FLAIR magnetic resonance.
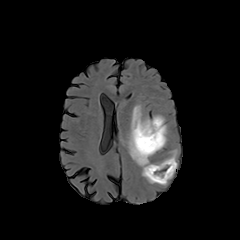
T1-weighted MR image.
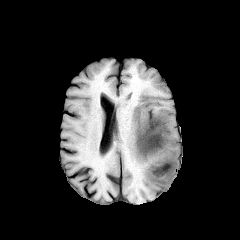
Post-contrast T1-weighted MRI.
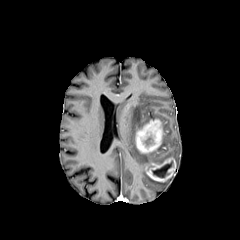
T2-weighted MRI.
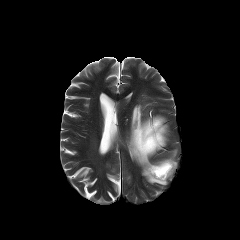
240x240 px, Brain
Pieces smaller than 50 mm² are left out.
peritumoral_edema:
  - (168, 149, 177, 160)
  - (127, 105, 168, 185)
enhancing_tumor:
  - (145, 157, 176, 182)
  - (135, 118, 164, 154)
necrotic_tumor_core:
  - (152, 161, 172, 177)